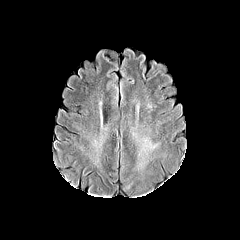
FLAIR MR image.
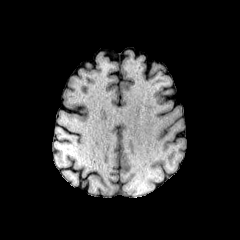
T1-weighted MR image.
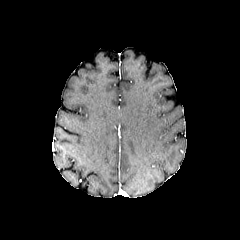
Post-contrast T1-weighted MR of the same slice.
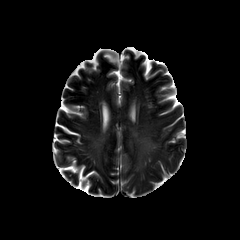
Same slice, T2-weighted MRI.
Brain
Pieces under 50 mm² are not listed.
The largest peritumoral edema region lies within 143 137 160 153.